FLAIR MRI.
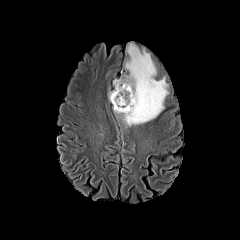
T1-weighted magnetic resonance.
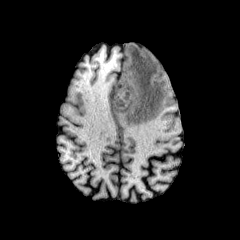
Post-contrast T1-weighted MR image.
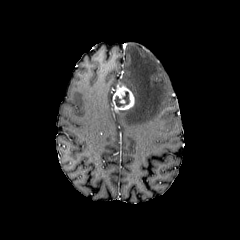
T2-weighted MRI.
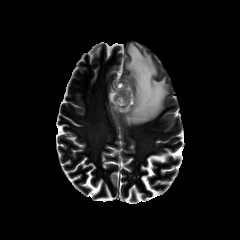
Image size 240x240
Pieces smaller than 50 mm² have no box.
Segmented structures:
* peritumoral edema: x1=113, y1=43, x2=168, y2=125
* enhancing tumor: x1=112, y1=82, x2=134, y2=112
* necrotic tumor core: x1=115, y1=92, x2=129, y2=106